Image width 240 mm, Brain, Slice 99 of 155
FLAIR MRI.
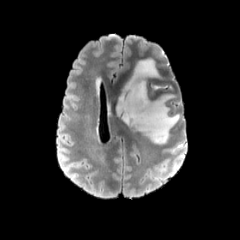
T1-weighted MR image.
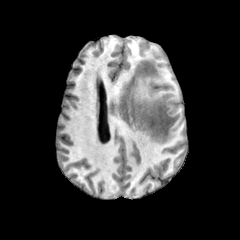
Post-contrast T1-weighted magnetic resonance.
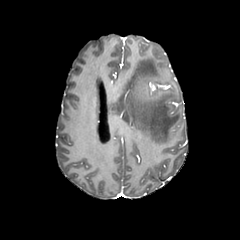
T2-weighted MRI.
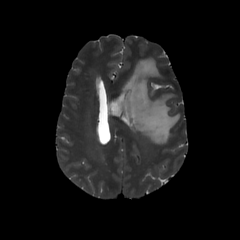
peritumoral edema at left=116, top=58, right=179, bottom=144